FLAIR MRI.
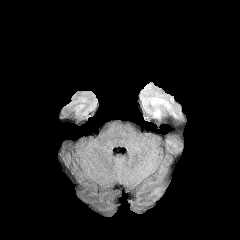
T1-weighted MRI.
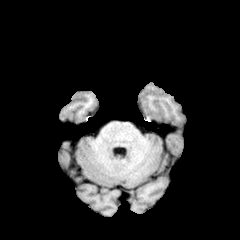
Post-contrast T1-weighted magnetic resonance.
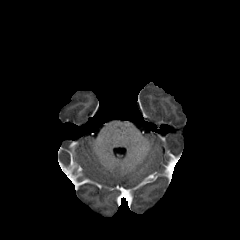
T2-weighted MRI.
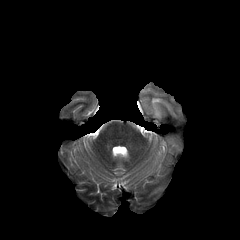
Axial slice. 240x240 px. Head.
peritumoral edema: (151,95,175,117)